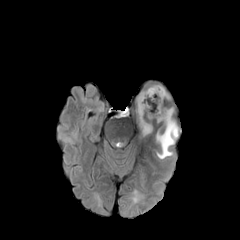
FLAIR MR.
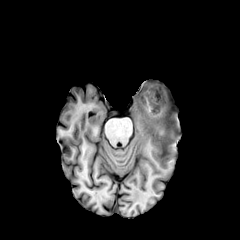
Same slice, T1-weighted MR.
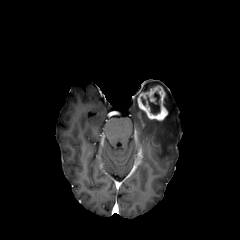
Same slice, post-contrast T1-weighted MRI.
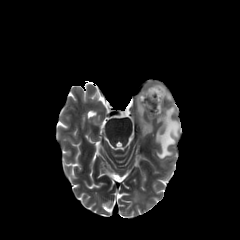
T2-weighted MR.
Axial plane. Head.
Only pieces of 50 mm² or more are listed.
Annotated regions:
- peritumoral edema: (x1=138, y1=107, x2=152, y2=135), (x1=156, y1=107, x2=178, y2=159)
- enhancing tumor: (x1=137, y1=85, x2=168, y2=120)
- necrotic tumor core: (x1=147, y1=92, x2=160, y2=114)